FLAIR MR.
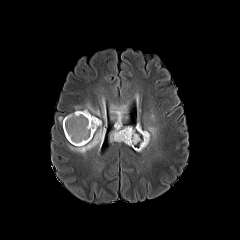
T1-weighted MRI.
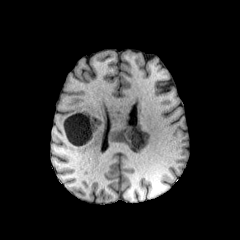
Post-contrast T1-weighted MR.
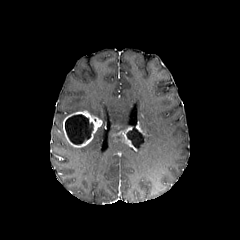
T2-weighted MR.
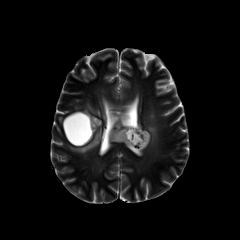
Brain.
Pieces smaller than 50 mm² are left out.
necrotic tumor core: 65, 114, 93, 144; 126, 129, 145, 147
enhancing tumor: 112, 122, 148, 150; 63, 110, 102, 147
peritumoral edema: 68, 126, 105, 154; 110, 104, 127, 141; 75, 102, 100, 116; 137, 124, 157, 151